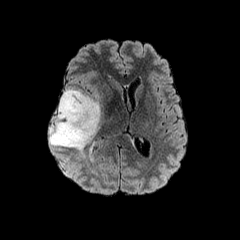
FLAIR magnetic resonance.
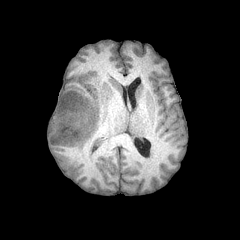
Same slice, T1-weighted MR image.
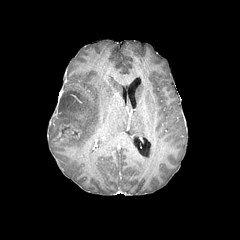
Same slice, post-contrast T1-weighted MR.
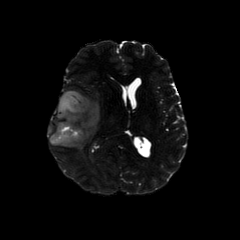
T2-weighted magnetic resonance.
Axial plane.
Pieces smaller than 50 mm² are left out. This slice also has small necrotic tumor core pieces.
Segmented structures:
- enhancing tumor: x1=52, y1=124, x2=81, y2=143
- peritumoral edema: x1=49, y1=89, x2=100, y2=150